FLAIR MR.
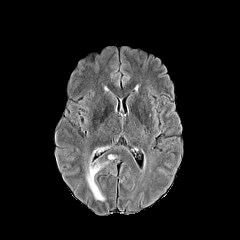
T1-weighted MR image.
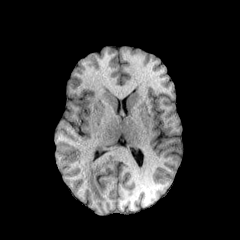
Post-contrast T1-weighted MR.
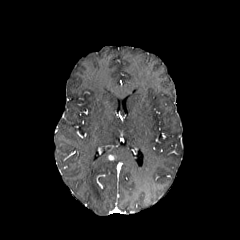
T2-weighted magnetic resonance.
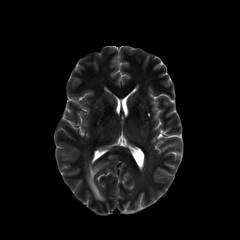
Axial plane
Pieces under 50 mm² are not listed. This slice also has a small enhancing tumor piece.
The largest peritumoral edema region is at box(86, 146, 109, 201).